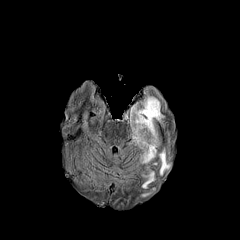
FLAIR MR image.
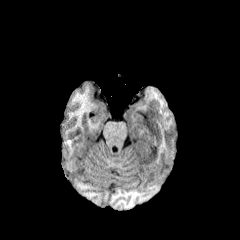
T1-weighted MR.
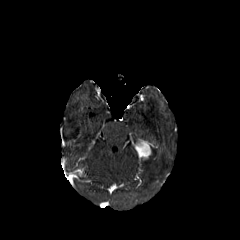
Post-contrast T1-weighted MR image.
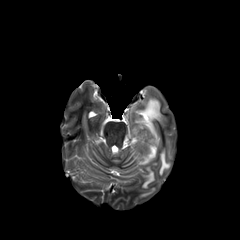
T2-weighted magnetic resonance of the same slice.
Axial view. Brain.
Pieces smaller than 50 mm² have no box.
The 4 largest peritumoral edema regions are bounded by (142, 166, 154, 188), (141, 146, 156, 164), (159, 149, 170, 175), (130, 96, 164, 147). The enhancing tumor is located at (132, 138, 156, 160).